FLAIR MRI.
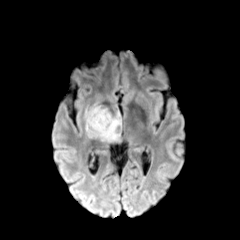
T1-weighted MR image.
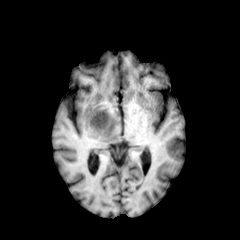
Post-contrast T1-weighted MR.
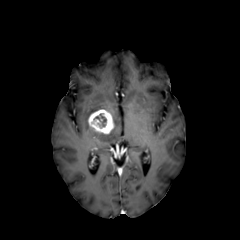
T2-weighted MRI.
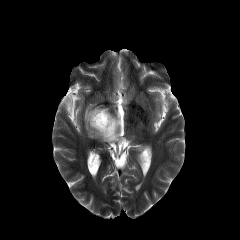
240x240 px, Head
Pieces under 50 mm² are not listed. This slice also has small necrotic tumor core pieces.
The peritumoral edema lies within [84, 106, 121, 142]. The enhancing tumor is at [88, 109, 114, 134].